FLAIR MR.
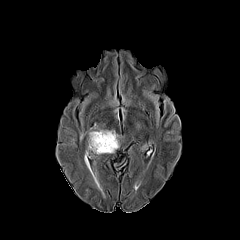
T1-weighted MR.
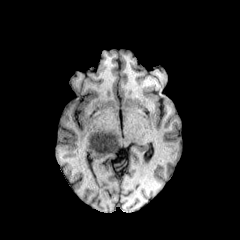
Post-contrast T1-weighted magnetic resonance.
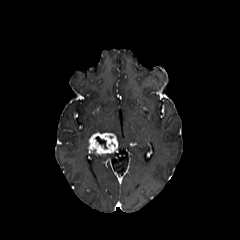
T2-weighted MR.
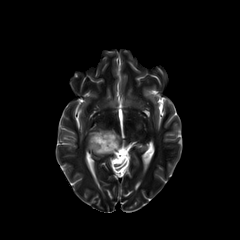
Axial plane; Brain; 240x240
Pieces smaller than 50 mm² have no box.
enhancing tumor: x1=88 y1=132 x2=117 y2=155
necrotic tumor core: x1=95 y1=136 x2=107 y2=148
peritumoral edema: x1=100 y1=130 x2=119 y2=138, x1=79 y1=124 x2=97 y2=140